FLAIR magnetic resonance.
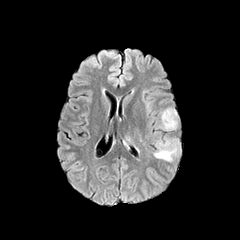
T1-weighted MRI.
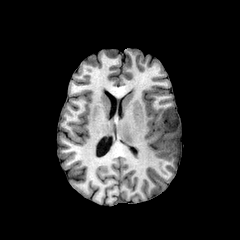
Post-contrast T1-weighted MRI.
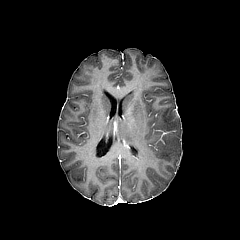
T2-weighted MR.
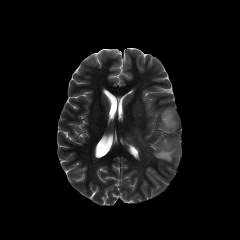
Head.
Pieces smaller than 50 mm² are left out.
peritumoral_edema:
  - box=[159, 107, 178, 130]
  - box=[153, 138, 180, 161]